FLAIR magnetic resonance.
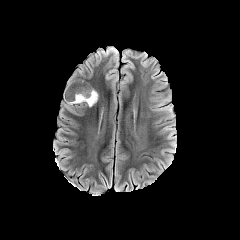
T1-weighted MR image.
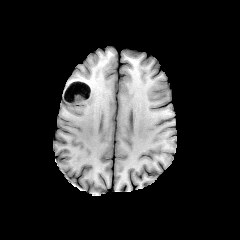
Post-contrast T1-weighted MRI.
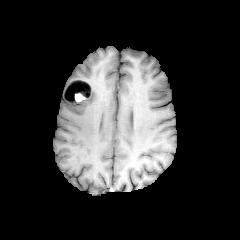
T2-weighted MRI.
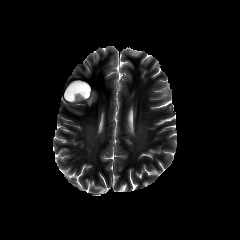
Brain. Axial plane.
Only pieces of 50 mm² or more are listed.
<segmentation>
  <necrotic_tumor_core><box>66,81,90,100</box></necrotic_tumor_core>
  <enhancing_tumor><box>64,79,91,103</box></enhancing_tumor>
  <peritumoral_edema><box>75,90,97,106</box></peritumoral_edema>
</segmentation>